Brain; Axial view
FLAIR MR image.
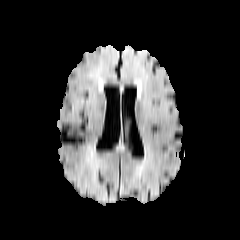
T1-weighted MR image.
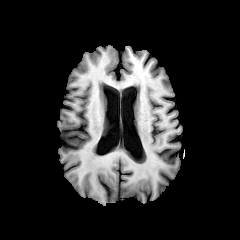
Post-contrast T1-weighted MR image.
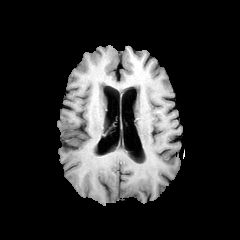
T2-weighted magnetic resonance.
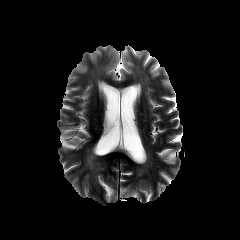
{
  "peritumoral_edema": [
    "(x1=87, y1=153, x2=95, y2=169)"
  ]
}